FLAIR magnetic resonance.
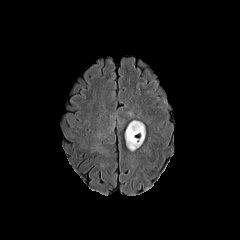
T1-weighted magnetic resonance.
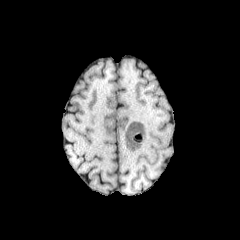
Post-contrast T1-weighted magnetic resonance.
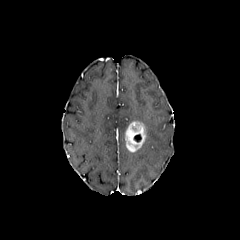
T2-weighted MRI.
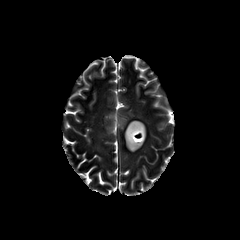
Brain. 240x240 px.
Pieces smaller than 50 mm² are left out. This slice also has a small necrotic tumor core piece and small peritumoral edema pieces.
Annotated regions:
• enhancing tumor: [125, 121, 145, 151]